Slice 118/155 | Axial view
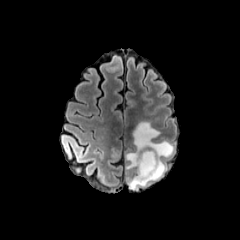
FLAIR MR image.
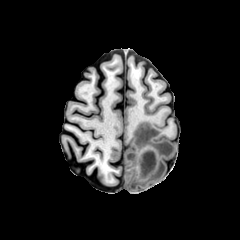
T1-weighted MRI.
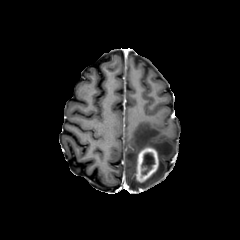
Post-contrast T1-weighted MRI.
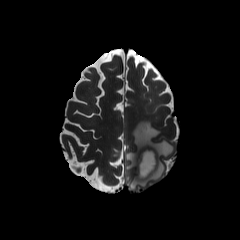
T2-weighted MR of the same slice.
peritumoral edema at l=125, t=121, r=174, b=190
necrotic tumor core at l=141, t=152, r=154, b=174
enhancing tumor at l=136, t=147, r=159, b=182